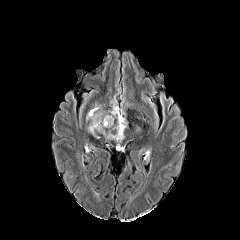
FLAIR magnetic resonance.
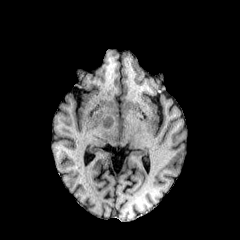
T1-weighted MR image.
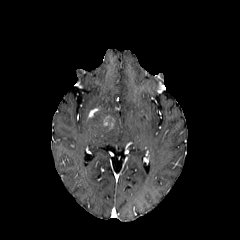
Post-contrast T1-weighted MRI.
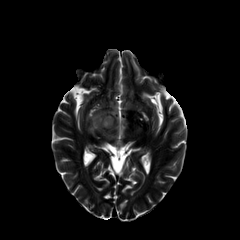
T2-weighted MR image.
Brain, Axial view
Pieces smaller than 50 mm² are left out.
peritumoral edema: x1=86, y1=99, x2=126, y2=142
enhancing tumor: x1=103, y1=115, x2=114, y2=128